FLAIR MR image.
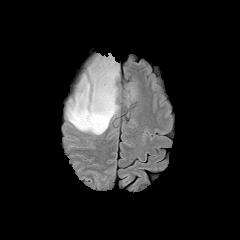
T1-weighted magnetic resonance.
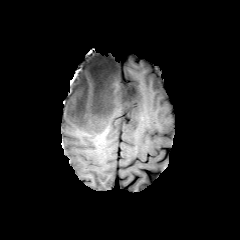
Post-contrast T1-weighted MR.
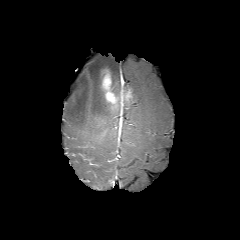
T2-weighted MR.
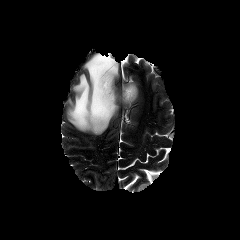
240x240. Axial plane.
2 peritumoral edema regions are located at x1=126, y1=85, x2=136, y2=100; x1=66, y1=55, x2=119, y2=134. 2 enhancing tumor regions are bounded by x1=101, y1=69, x2=117, y2=108; x1=121, y1=88, x2=132, y2=101.